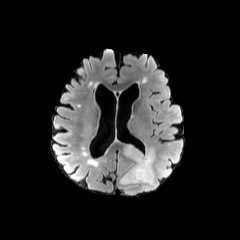
FLAIR MR image.
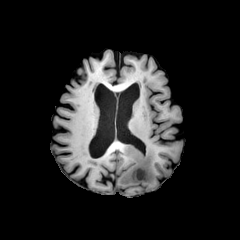
Same slice, T1-weighted MR.
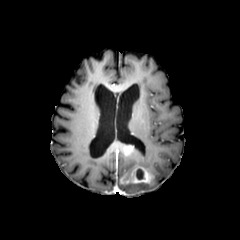
Post-contrast T1-weighted magnetic resonance of the same slice.
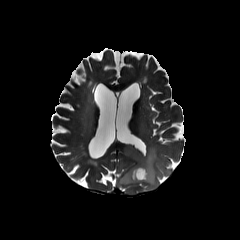
Same slice, T2-weighted magnetic resonance.
Axial plane | Brain
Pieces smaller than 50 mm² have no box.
<segmentation>
  <necrotic_tumor_core>136 169 143 179</necrotic_tumor_core>
  <enhancing_tumor>119 145 153 186</enhancing_tumor>
  <peritumoral_edema>119 146 136 163, 117 146 159 195</peritumoral_edema>
</segmentation>